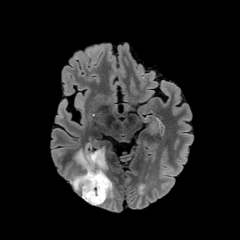
FLAIR MR image.
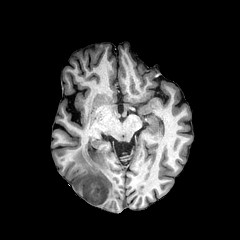
Same slice, T1-weighted magnetic resonance.
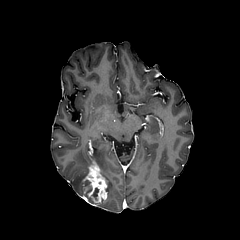
Post-contrast T1-weighted MR.
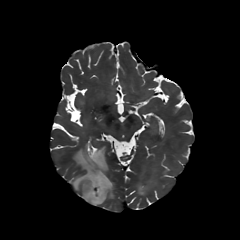
Same slice, T2-weighted MR.
Head, Axial slice
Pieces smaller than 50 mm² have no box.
The peritumoral edema is located at (69, 146, 114, 207). The largest necrotic tumor core region lies within (92, 188, 98, 200). The enhancing tumor is located at (81, 164, 107, 205).